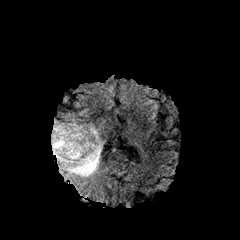
FLAIR MRI.
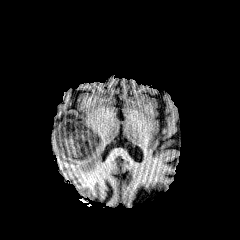
Same slice, T1-weighted MR image.
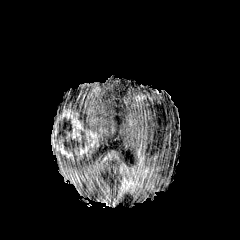
Post-contrast T1-weighted MR.
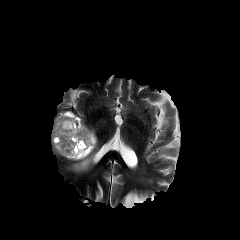
T2-weighted MRI.
Head
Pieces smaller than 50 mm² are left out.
Segmented structures:
- peritumoral edema: (52, 125, 103, 177)
- necrotic tumor core: (54, 120, 84, 157)
- enhancing tumor: (51, 111, 98, 160)